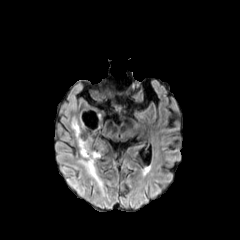
FLAIR MR.
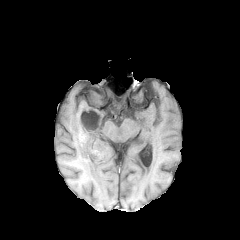
Same slice, T1-weighted MRI.
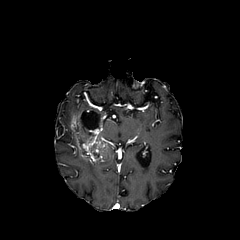
Post-contrast T1-weighted MRI of the same slice.
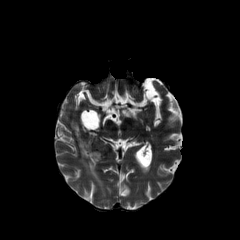
T2-weighted MR.
Axial slice
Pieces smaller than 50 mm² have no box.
{
  "necrotic_tumor_core": [
    {"x1": 81, "y1": 112, "x2": 99, "y2": 129},
    {"x1": 74, "y1": 124, "x2": 84, "y2": 146}
  ],
  "enhancing_tumor": [
    {"x1": 70, "y1": 108, "x2": 114, "y2": 164}
  ],
  "peritumoral_edema": [
    {"x1": 78, "y1": 157, "x2": 103, "y2": 187}
  ]
}